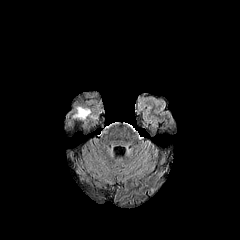
FLAIR MRI.
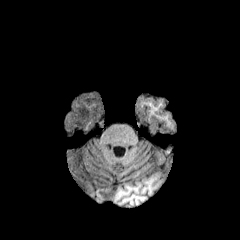
T1-weighted MR image.
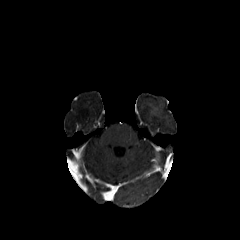
Post-contrast T1-weighted magnetic resonance.
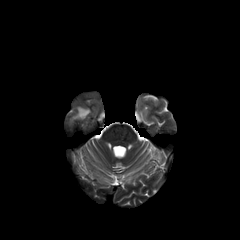
T2-weighted magnetic resonance.
Head
peritumoral edema: [x1=73, y1=107, x2=90, y2=119]